Head. Image width 240 mm.
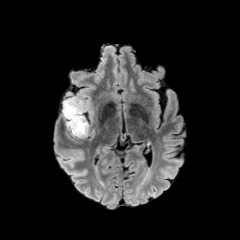
FLAIR magnetic resonance.
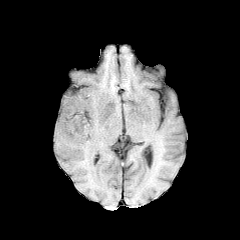
T1-weighted MRI.
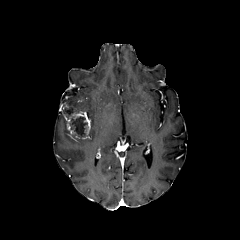
Post-contrast T1-weighted magnetic resonance.
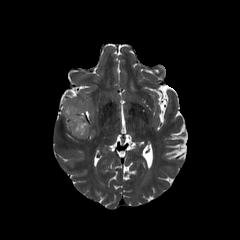
T2-weighted magnetic resonance.
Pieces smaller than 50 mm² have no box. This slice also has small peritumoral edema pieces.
The enhancing tumor is bounded by (x1=62, y1=99, x2=90, y2=139). The 2 largest necrotic tumor core regions appear at (x1=64, y1=107, x2=73, y2=118), (x1=70, y1=116, x2=87, y2=136).